FLAIR MR.
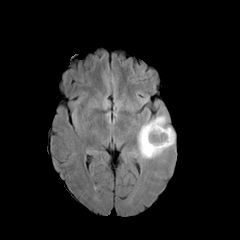
T1-weighted MRI.
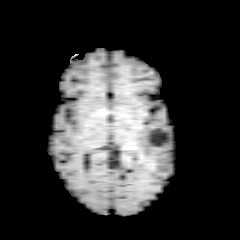
Post-contrast T1-weighted magnetic resonance.
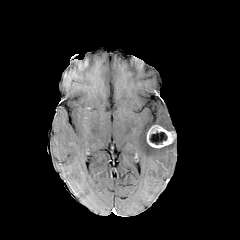
T2-weighted MR.
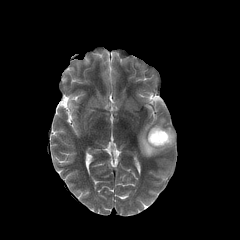
Brain.
The enhancing tumor lies within (left=146, top=125, right=175, bottom=147). The peritumoral edema appears at (left=137, top=116, right=174, bottom=158). The necrotic tumor core is at (left=149, top=131, right=167, bottom=144).